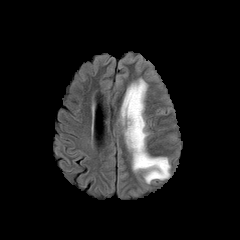
FLAIR MRI.
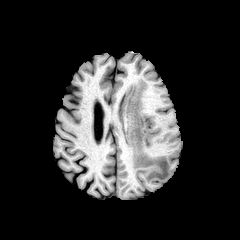
T1-weighted magnetic resonance.
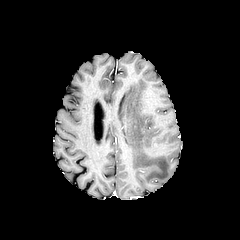
Post-contrast T1-weighted MR image.
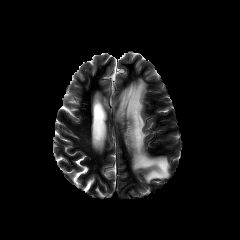
T2-weighted MR image.
Image size 240x240.
Segmented structures:
• peritumoral edema: [121,79,169,183]